Head
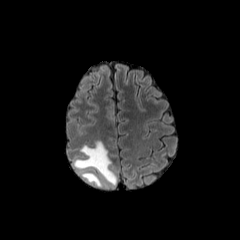
FLAIR magnetic resonance.
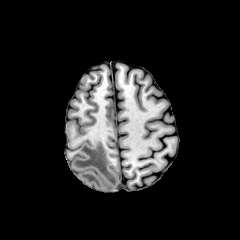
T1-weighted MRI.
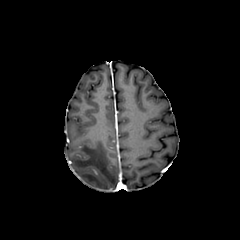
Post-contrast T1-weighted MR image.
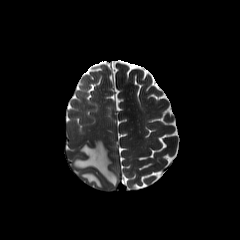
T2-weighted magnetic resonance.
peritumoral_edema:
  - [74, 141, 117, 185]
  - [81, 172, 104, 187]